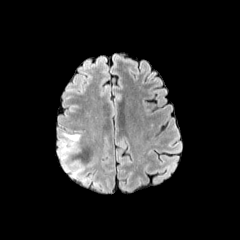
FLAIR MRI.
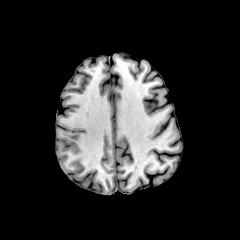
Same slice, T1-weighted MR image.
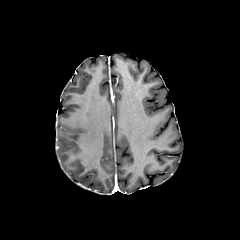
Post-contrast T1-weighted MR.
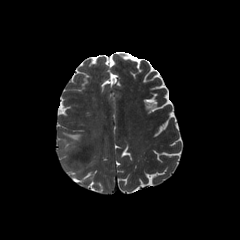
T2-weighted MR image of the same slice.
Brain.
The peritumoral edema is bounded by 57, 132, 83, 174.